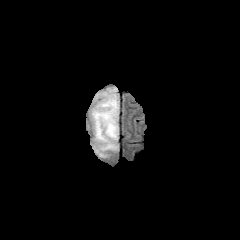
FLAIR magnetic resonance.
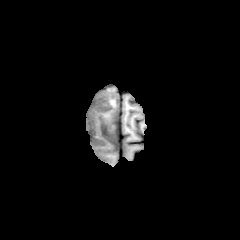
T1-weighted MRI.
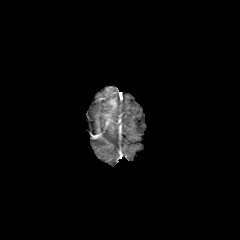
Same slice, post-contrast T1-weighted magnetic resonance.
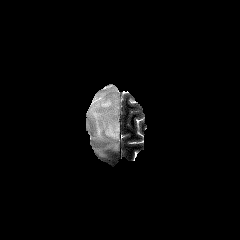
Same slice, T2-weighted MR.
Axial plane.
The peritumoral edema is at x1=87 y1=87 x2=119 y2=157.